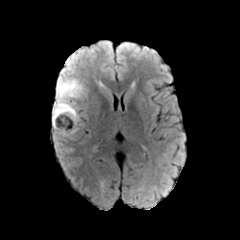
FLAIR MR image.
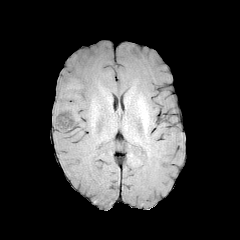
T1-weighted MR.
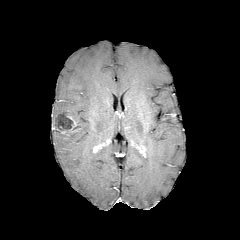
Same slice, post-contrast T1-weighted MRI.
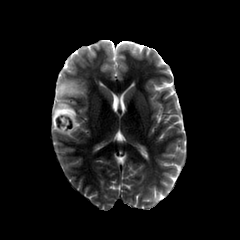
T2-weighted MR.
Head. Axial plane.
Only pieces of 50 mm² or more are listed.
enhancing_tumor:
  - bbox(61, 115, 76, 133)
necrotic_tumor_core:
  - bbox(53, 114, 73, 130)
peritumoral_edema:
  - bbox(52, 75, 86, 136)